240x240 px, Brain
FLAIR MR image.
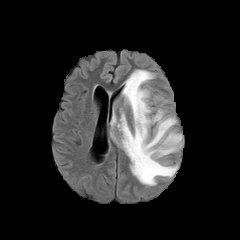
T1-weighted MR.
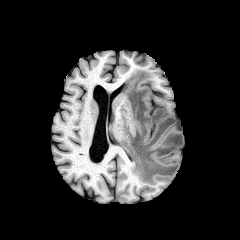
Post-contrast T1-weighted magnetic resonance.
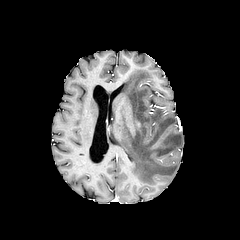
T2-weighted MR.
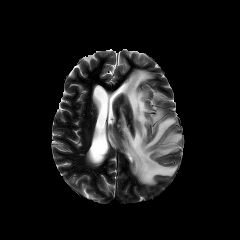
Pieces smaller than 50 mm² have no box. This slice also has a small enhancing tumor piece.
Findings:
- peritumoral edema: <box>110,69,182,185</box>